FLAIR MR image.
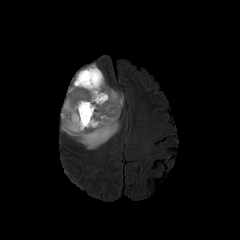
T1-weighted MR.
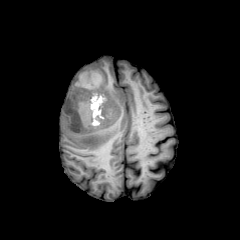
Post-contrast T1-weighted MR.
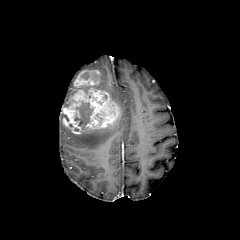
T2-weighted magnetic resonance.
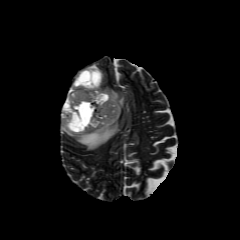
Image size 240x240; Brain
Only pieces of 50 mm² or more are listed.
* enhancing tumor: <box>61,87,120,134</box>, <box>73,69,100,87</box>
* necrotic tumor core: <box>75,102,92,129</box>, <box>81,72,89,79</box>
* peritumoral edema: <box>64,63,124,110</box>, <box>61,114,119,149</box>